Brain. Image size 240x240. Slice index 36. Axial slice.
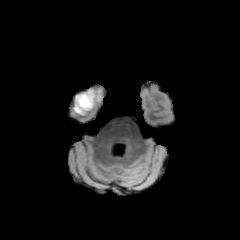
FLAIR MR image.
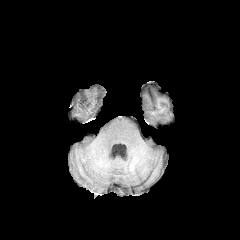
T1-weighted MRI of the same slice.
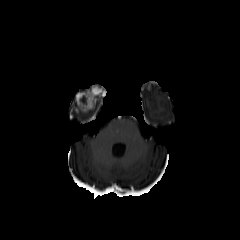
Post-contrast T1-weighted MR.
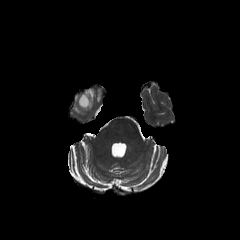
T2-weighted MR image.
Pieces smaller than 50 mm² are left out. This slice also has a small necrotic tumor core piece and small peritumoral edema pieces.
The enhancing tumor lies within 75 87 104 112.